FLAIR MR.
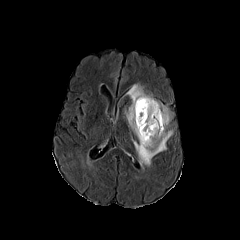
T1-weighted MR.
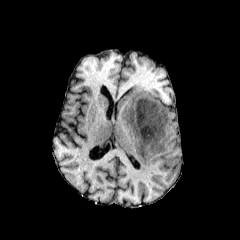
Post-contrast T1-weighted MR image.
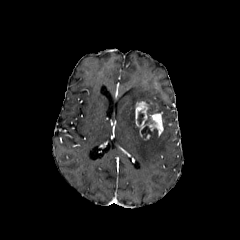
T2-weighted MR.
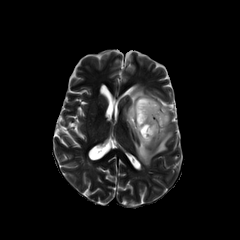
Image size 240x240
peritumoral_edema:
  - (124, 84, 172, 166)
necrotic_tumor_core:
  - (137, 112, 144, 124)
  - (141, 126, 150, 137)
enhancing_tumor:
  - (139, 112, 163, 140)
  - (135, 101, 149, 127)